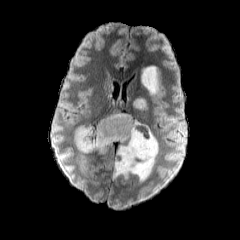
FLAIR MR image.
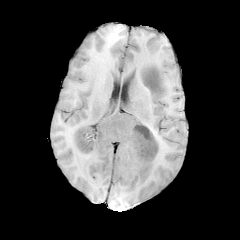
T1-weighted MR image.
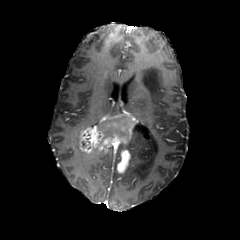
Post-contrast T1-weighted MRI.
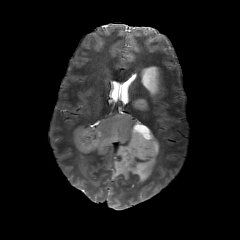
Same slice, T2-weighted MR.
Image size 240x240; Brain
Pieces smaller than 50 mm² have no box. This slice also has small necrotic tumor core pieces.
peritumoral_edema:
  - [x1=114, y1=122, x2=158, y2=182]
  - [x1=141, y1=66, x2=160, y2=95]
  - [x1=133, y1=98, x2=147, y2=109]
  - [x1=74, y1=126, x2=85, y2=147]
enhancing_tumor:
  - [x1=76, y1=113, x2=140, y2=173]